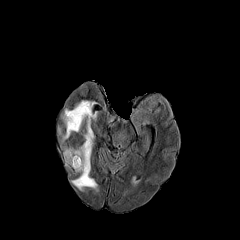
FLAIR MR.
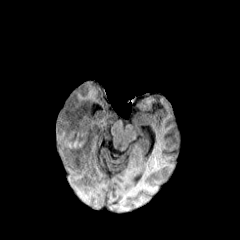
Same slice, T1-weighted magnetic resonance.
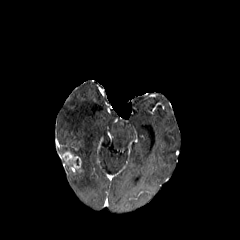
Post-contrast T1-weighted MR of the same slice.
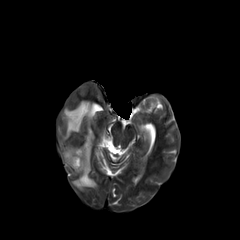
T2-weighted MR image.
Head, Axial slice
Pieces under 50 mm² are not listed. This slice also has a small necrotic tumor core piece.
peritumoral edema at region(64, 100, 97, 190); region(131, 176, 140, 185)
enhancing tumor at region(62, 149, 81, 171)